FLAIR MRI.
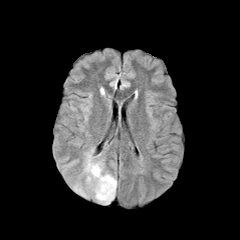
T1-weighted magnetic resonance.
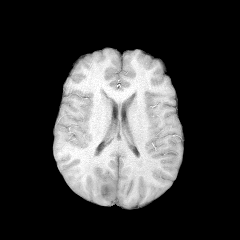
Post-contrast T1-weighted magnetic resonance.
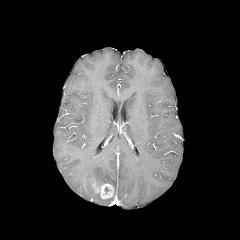
T2-weighted MR.
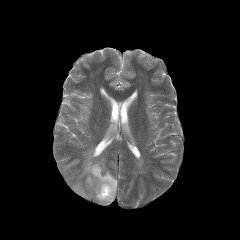
Head
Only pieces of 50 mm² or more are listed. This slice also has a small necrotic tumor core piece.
<segmentation>
  <enhancing_tumor><box>92,182,114,198</box></enhancing_tumor>
  <peritumoral_edema><box>72,147,116,204</box></peritumoral_edema>
</segmentation>